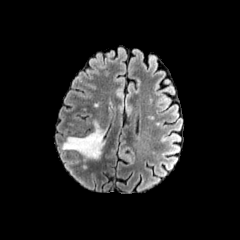
FLAIR MRI.
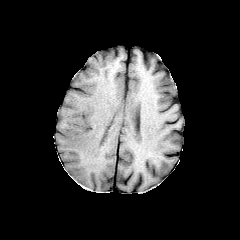
Same slice, T1-weighted MRI.
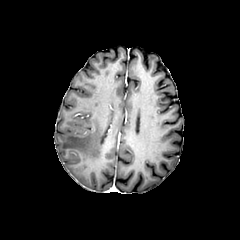
Post-contrast T1-weighted MR image of the same slice.
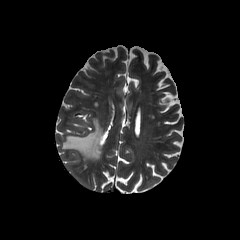
T2-weighted magnetic resonance of the same slice.
Brain
peritumoral edema: [62,120,103,159]